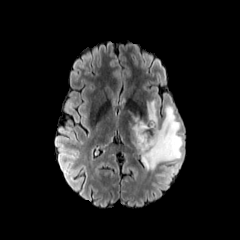
FLAIR magnetic resonance.
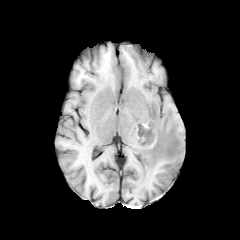
Same slice, T1-weighted MR.
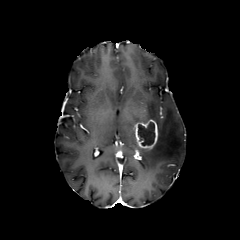
Post-contrast T1-weighted MRI.
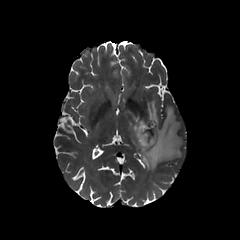
Same slice, T2-weighted MR.
The peritumoral edema appears at <bbox>127, 100, 183, 171</bbox>. The necrotic tumor core is bounded by <bbox>137, 121, 154, 146</bbox>. The enhancing tumor is bounded by <bbox>134, 119, 158, 158</bbox>.